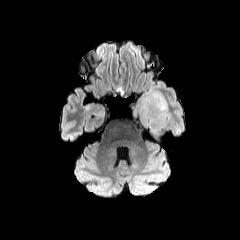
FLAIR magnetic resonance.
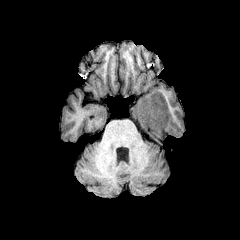
T1-weighted MRI of the same slice.
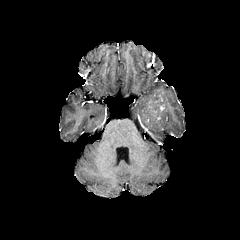
Post-contrast T1-weighted MR image of the same slice.
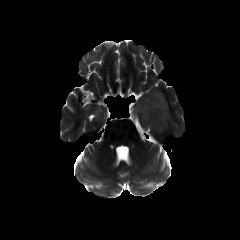
T2-weighted MRI of the same slice.
Brain
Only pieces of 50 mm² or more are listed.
The largest enhancing tumor region is located at left=149, top=95, right=164, bottom=110. The peritumoral edema lies within left=137, top=90, right=167, bottom=130.